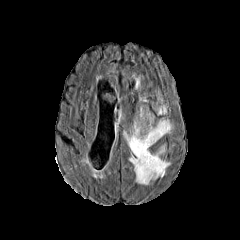
FLAIR magnetic resonance.
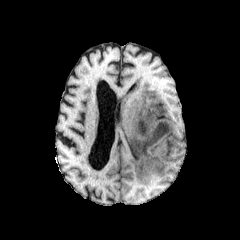
Same slice, T1-weighted MR image.
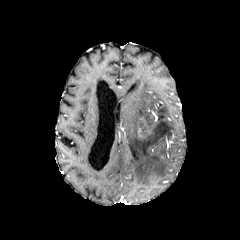
Same slice, post-contrast T1-weighted MRI.
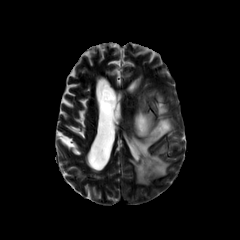
T2-weighted magnetic resonance.
Axial view
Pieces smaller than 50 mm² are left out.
enhancing tumor: box(138, 126, 145, 137); box(139, 117, 150, 134) | peritumoral edema: box(126, 107, 172, 184); box(158, 105, 166, 114) | necrotic tumor core: box(139, 121, 146, 134)